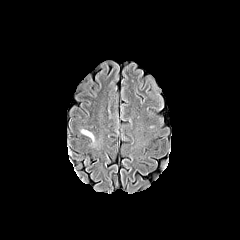
FLAIR MR.
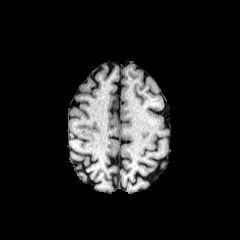
T1-weighted magnetic resonance of the same slice.
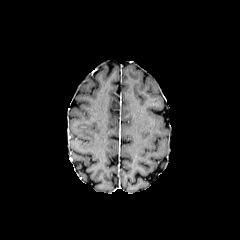
Post-contrast T1-weighted MRI.
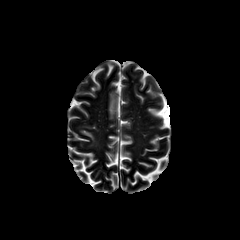
Same slice, T2-weighted MR.
Image size 240x240
<segmentation>
  <peritumoral_edema>left=81, top=130, right=94, bottom=142</peritumoral_edema>
</segmentation>